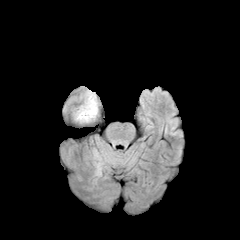
FLAIR magnetic resonance.
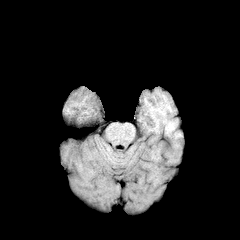
Same slice, T1-weighted magnetic resonance.
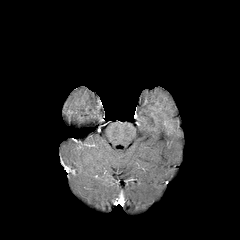
Same slice, post-contrast T1-weighted magnetic resonance.
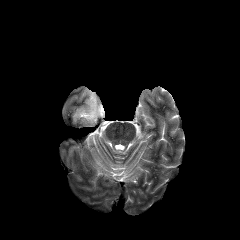
T2-weighted MR.
Axial slice | 240x240 px
<segmentation>
  <peritumoral_edema><box>94,150,102,175</box>, <box>75,90,98,122</box></peritumoral_edema>
</segmentation>